Slice index 84
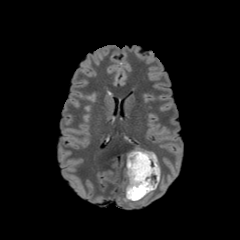
FLAIR magnetic resonance.
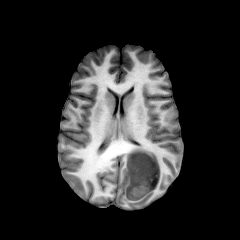
T1-weighted magnetic resonance.
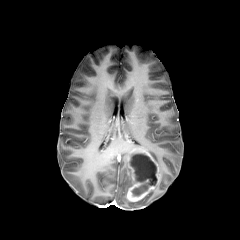
Same slice, post-contrast T1-weighted MR image.
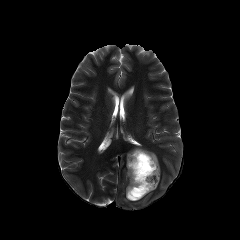
Same slice, T2-weighted MR image.
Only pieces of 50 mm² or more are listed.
<segmentation>
  <enhancing_tumor>[127, 148, 160, 201]</enhancing_tumor>
  <necrotic_tumor_core>[129, 153, 157, 196]</necrotic_tumor_core>
  <peritumoral_edema>[124, 175, 131, 201]</peritumoral_edema>
</segmentation>